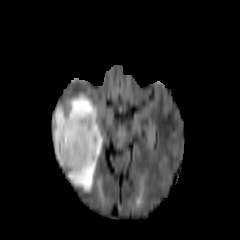
FLAIR MR image.
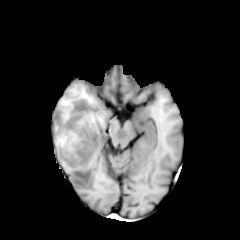
T1-weighted MR image.
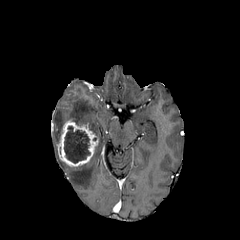
Post-contrast T1-weighted MR image.
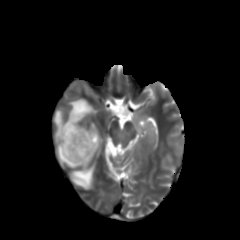
T2-weighted MR.
Axial slice
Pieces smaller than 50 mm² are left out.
necrotic tumor core: [64,126,89,163]
peritumoral edema: [52,91,103,192]
enhancing tumor: [57,118,98,166]